Axial view; Image width 240 mm, 1.00 mm slice spacing; Head; Image size 240x240
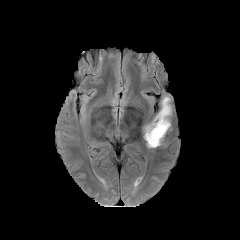
FLAIR MR image.
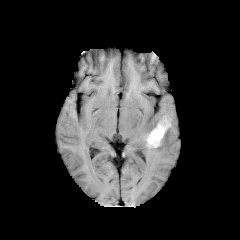
T1-weighted magnetic resonance.
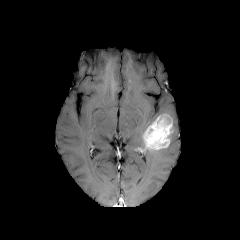
Post-contrast T1-weighted MRI.
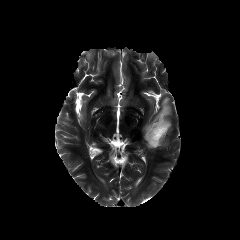
Same slice, T2-weighted MRI.
The enhancing tumor is at 143,114,172,149. The peritumoral edema is bounded by 143,97,171,132.